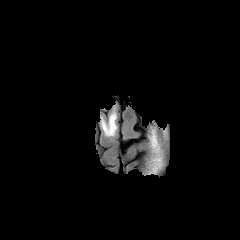
FLAIR magnetic resonance.
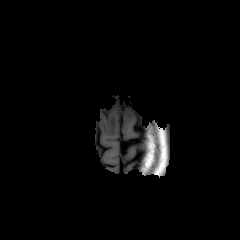
T1-weighted MR image of the same slice.
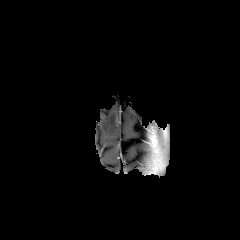
Post-contrast T1-weighted magnetic resonance of the same slice.
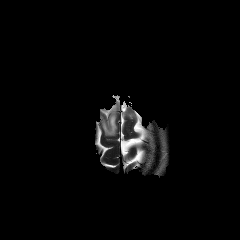
T2-weighted MR of the same slice.
Axial view
The peritumoral edema is bounded by left=100, top=108, right=117, bottom=136.